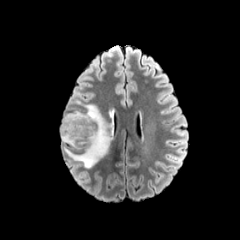
FLAIR MR.
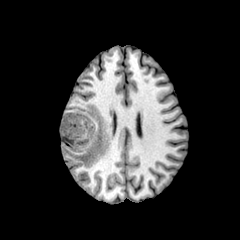
T1-weighted magnetic resonance.
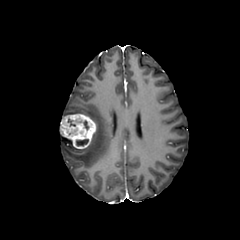
Post-contrast T1-weighted magnetic resonance of the same slice.
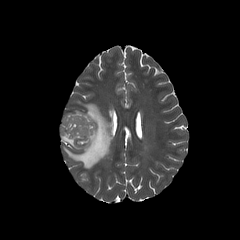
Same slice, T2-weighted MR image.
Axial view.
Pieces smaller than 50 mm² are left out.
necrotic_tumor_core:
  - (75,138,88,145)
peritumoral_edema:
  - (60,104,110,168)
enhancing_tumor:
  - (60,113,96,148)